FLAIR magnetic resonance.
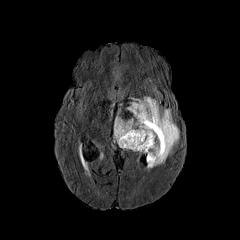
T1-weighted MRI.
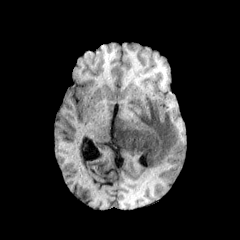
Post-contrast T1-weighted MRI.
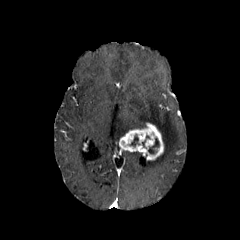
T2-weighted MRI.
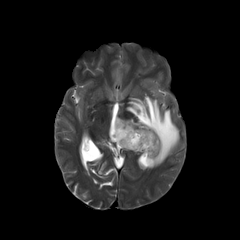
Axial view
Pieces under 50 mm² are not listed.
Findings:
* necrotic tumor core: 131,136,138,145; 148,138,159,153
* enhancing tumor: 119,122,164,160
* peritumoral edema: 114,97,179,168